FLAIR MRI.
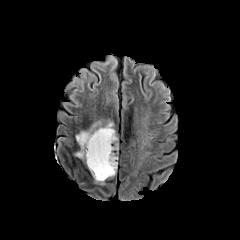
T1-weighted MRI.
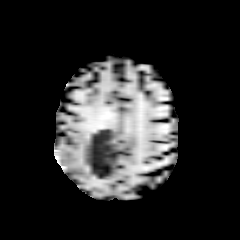
Post-contrast T1-weighted MR.
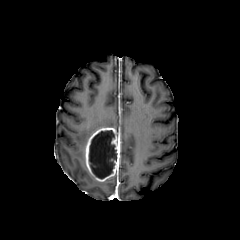
T2-weighted magnetic resonance.
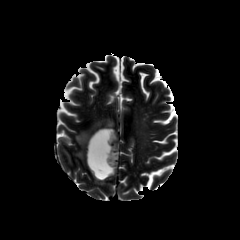
Axial slice | Brain | 240x240 px
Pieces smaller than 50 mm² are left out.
peritumoral_edema:
  - {"x1": 75, "y1": 121, "x2": 114, "y2": 158}
necrotic_tumor_core:
  - {"x1": 89, "y1": 130, "x2": 116, "y2": 179}
enhancing_tumor:
  - {"x1": 85, "y1": 127, "x2": 119, "y2": 181}